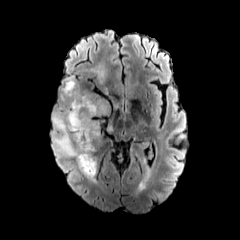
FLAIR MR.
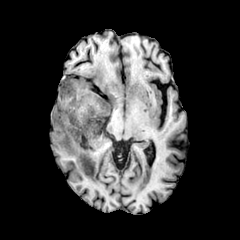
T1-weighted MR image of the same slice.
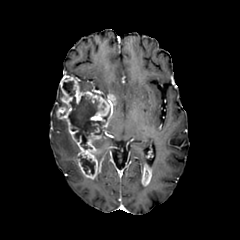
Same slice, post-contrast T1-weighted MRI.
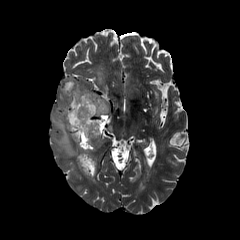
T2-weighted MR image of the same slice.
240x240; Brain
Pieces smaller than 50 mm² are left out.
The 2 largest necrotic tumor core regions appear at bbox=[78, 155, 95, 174]; bbox=[63, 81, 104, 149]. The 2 largest enhancing tumor regions are bounded by bbox=[141, 164, 151, 186]; bbox=[56, 75, 115, 179]. The 2 largest peritumoral edema regions are located at bbox=[52, 112, 79, 158]; bbox=[93, 66, 104, 83].